Slice index 67. Head.
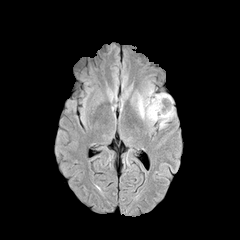
FLAIR MRI.
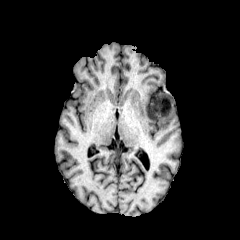
T1-weighted MRI.
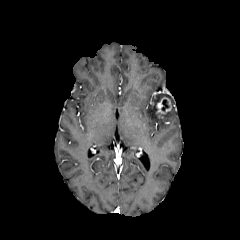
Post-contrast T1-weighted MR image.
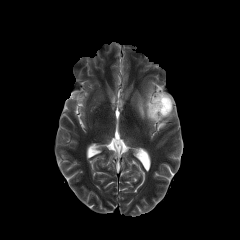
T2-weighted magnetic resonance.
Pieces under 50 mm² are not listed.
The largest enhancing tumor region lies within [x1=155, y1=97, x2=171, y2=114]. The necrotic tumor core appears at [x1=161, y1=99, x2=169, y2=111]. The largest peritumoral edema region is at [x1=137, y1=93, x2=174, y2=127].